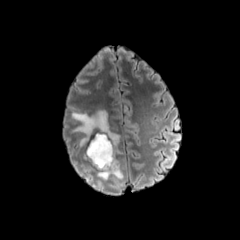
FLAIR MRI.
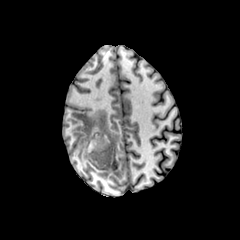
Same slice, T1-weighted MR image.
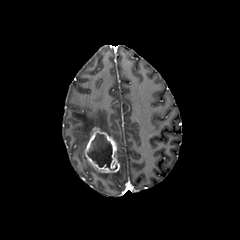
Post-contrast T1-weighted MR image.
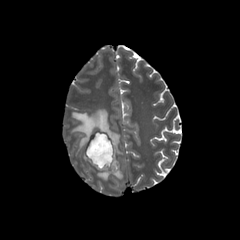
Same slice, T2-weighted magnetic resonance.
Axial plane. Brain.
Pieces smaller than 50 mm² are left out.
{"enhancing_tumor": ["[85,127,119,173]"], "peritumoral_edema": ["[71,109,119,146]", "[97,160,123,180]"], "necrotic_tumor_core": ["[87,133,112,168]"]}